Head; Axial slice; Slice index 58
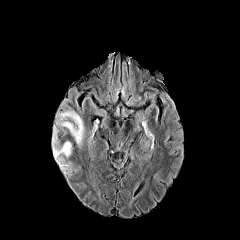
FLAIR magnetic resonance.
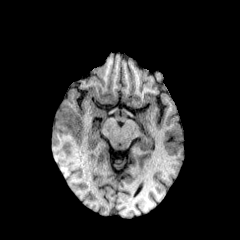
T1-weighted magnetic resonance of the same slice.
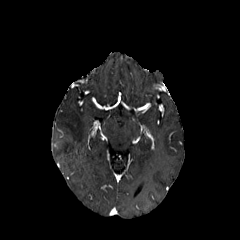
Same slice, post-contrast T1-weighted MR image.
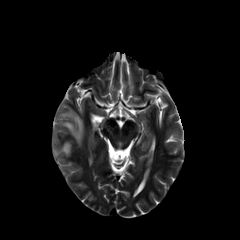
Same slice, T2-weighted MR.
3 peritumoral edema regions appear at region(52, 128, 58, 145); region(53, 141, 71, 164); region(57, 110, 84, 145).